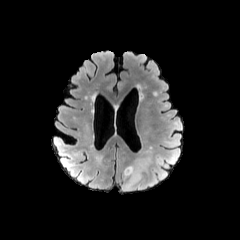
FLAIR MR.
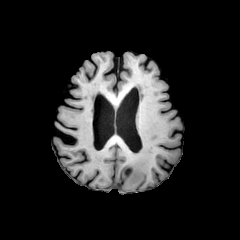
T1-weighted magnetic resonance of the same slice.
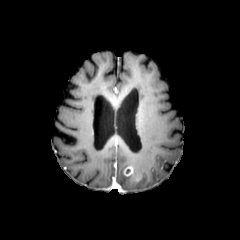
Post-contrast T1-weighted MR of the same slice.
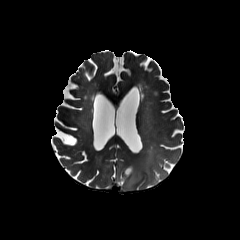
T2-weighted magnetic resonance.
Axial plane | 240x240
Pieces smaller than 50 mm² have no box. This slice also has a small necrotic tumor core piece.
enhancing tumor: bounding box (x1=123, y1=166, x2=141, y2=185)
peritumoral edema: bounding box (x1=119, y1=155, x2=158, y2=191)